Axial slice | Image covers 240 mm x 240 mm | Slice index 29
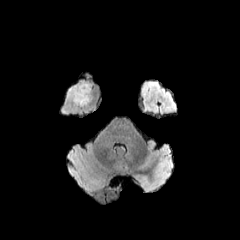
FLAIR MR.
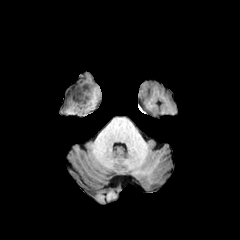
T1-weighted MR.
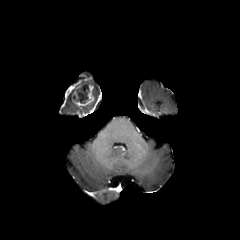
Post-contrast T1-weighted magnetic resonance of the same slice.
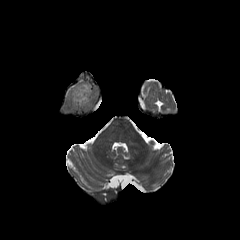
Same slice, T2-weighted magnetic resonance.
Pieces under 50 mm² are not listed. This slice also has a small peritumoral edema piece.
The enhancing tumor lies within x1=65 y1=80 x2=93 y2=107. The necrotic tumor core is located at x1=73 y1=82 x2=88 y2=103.